Image width 240 mm, 1.00 mm slice spacing. Axial slice. Slice index 77. 240x240.
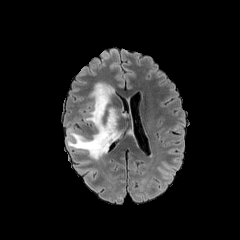
FLAIR MRI.
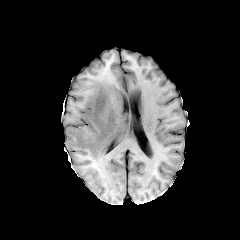
Same slice, T1-weighted MRI.
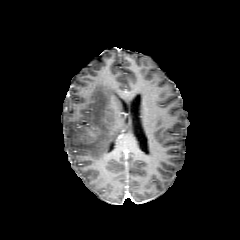
Same slice, post-contrast T1-weighted MR.
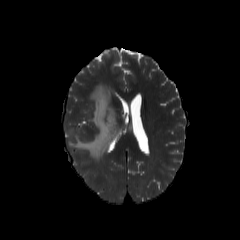
T2-weighted MR of the same slice.
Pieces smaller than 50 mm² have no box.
Annotated regions:
* peritumoral edema: 67,82,120,160